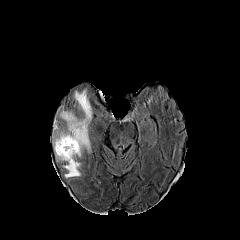
FLAIR MRI.
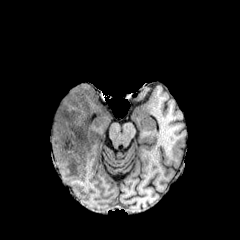
Same slice, T1-weighted MR image.
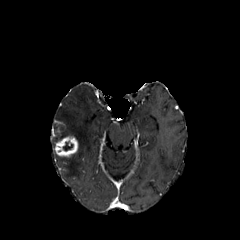
Same slice, post-contrast T1-weighted magnetic resonance.
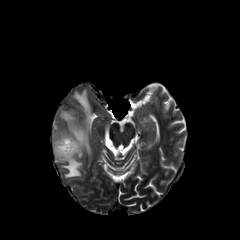
Same slice, T2-weighted magnetic resonance.
Brain
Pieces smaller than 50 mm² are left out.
{"enhancing_tumor": ["<box>54,136,78,157</box>"], "necrotic_tumor_core": ["<box>63,142,73,150</box>"], "peritumoral_edema": ["<box>53,89,91,177</box>"]}